FLAIR MRI.
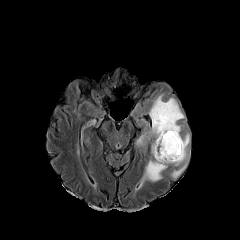
T1-weighted MRI.
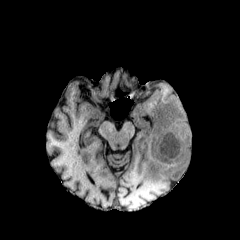
Post-contrast T1-weighted MRI.
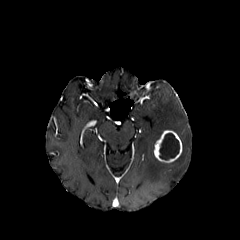
T2-weighted MRI.
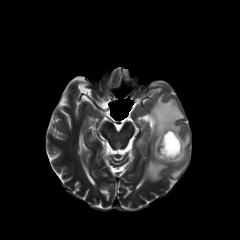
Axial plane. 240x240. Head.
enhancing tumor: bounding box (x1=154, y1=130, x2=182, y2=163)
peritumoral edema: bounding box (x1=135, y1=94, x2=190, y2=185)
necrotic tumor core: bounding box (x1=159, y1=133, x2=179, y2=159)